Head, Slice 36 of 155
FLAIR MRI.
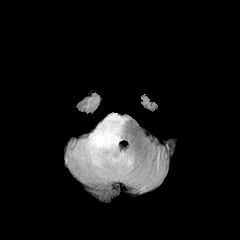
T1-weighted MRI.
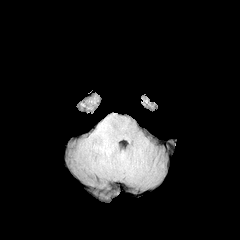
Post-contrast T1-weighted magnetic resonance.
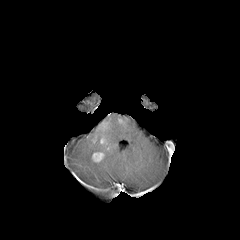
T2-weighted MR image.
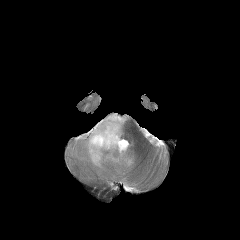
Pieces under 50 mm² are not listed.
enhancing tumor: bounding box bbox(92, 152, 104, 162)
peritumoral edema: bounding box bbox(69, 113, 134, 179)